Brain; Axial view; Slice 103 of 155
FLAIR magnetic resonance.
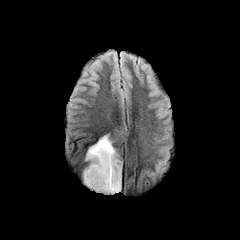
T1-weighted MR image.
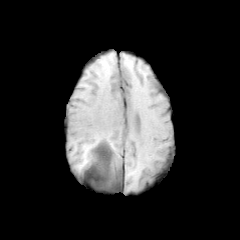
Post-contrast T1-weighted MRI.
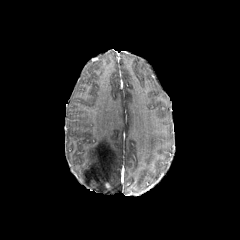
T2-weighted MR image.
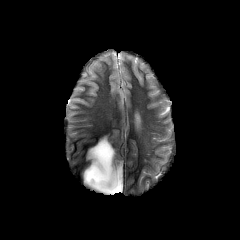
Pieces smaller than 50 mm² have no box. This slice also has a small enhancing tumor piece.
peritumoral edema: box=[83, 135, 121, 193]